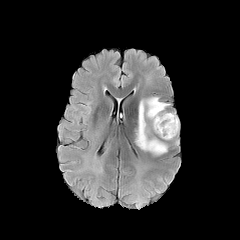
FLAIR MRI.
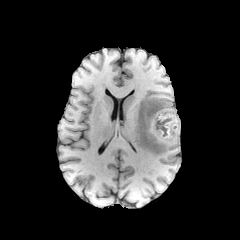
T1-weighted MRI.
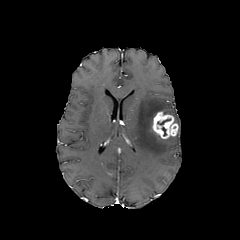
Post-contrast T1-weighted MR image of the same slice.
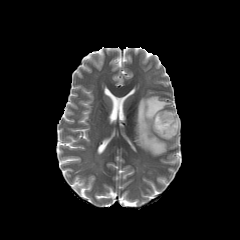
T2-weighted MR.
Brain | Axial view | 240x240
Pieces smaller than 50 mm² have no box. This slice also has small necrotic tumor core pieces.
peritumoral edema: l=135, t=96, r=179, b=155 | enhancing tumor: l=152, t=111, r=178, b=138